Slice 116/155; Axial view
FLAIR MR image.
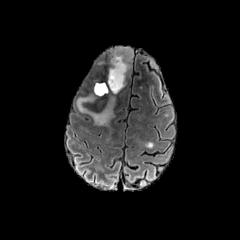
T1-weighted magnetic resonance.
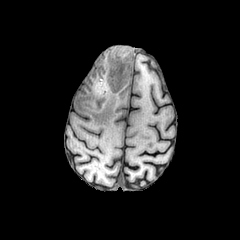
Post-contrast T1-weighted MR image.
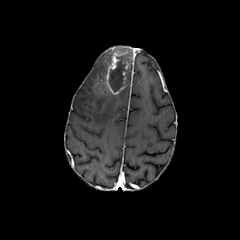
T2-weighted MR.
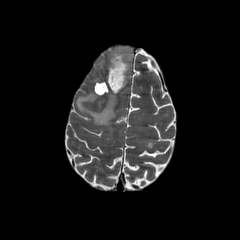
peritumoral edema: l=76, t=93, r=116, b=125; l=94, t=82, r=108, b=96 | enhancing tumor: l=104, t=47, r=132, b=94 | necrotic tumor core: l=109, t=54, r=130, b=91